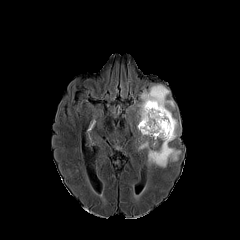
FLAIR MR.
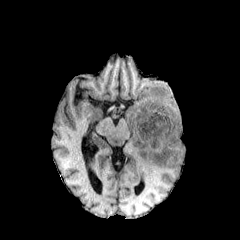
Same slice, T1-weighted magnetic resonance.
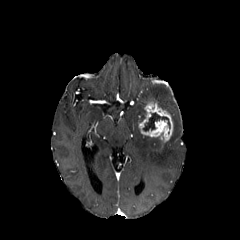
Same slice, post-contrast T1-weighted magnetic resonance.
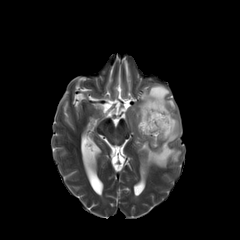
T2-weighted MRI.
Axial plane | Brain
necrotic tumor core: bounding box <bbox>143, 113, 170, 131</bbox>
peritumoral edema: bounding box <bbox>137, 84, 180, 167</bbox>
enhancing tumor: bounding box <bbox>138, 101, 173, 142</bbox>